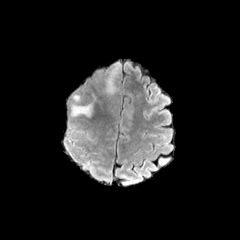
FLAIR MR image.
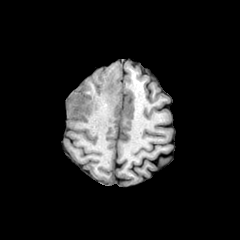
Same slice, T1-weighted MRI.
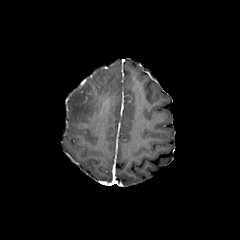
Post-contrast T1-weighted MRI.
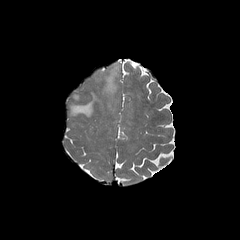
Same slice, T2-weighted magnetic resonance.
Head
Annotated regions:
- peritumoral edema: bbox(70, 94, 97, 117); bbox(102, 63, 120, 100)